FLAIR MR image.
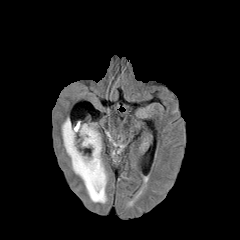
T1-weighted MRI.
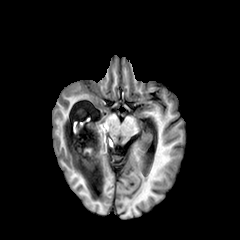
Post-contrast T1-weighted MR image.
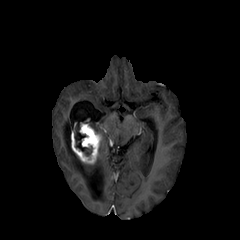
T2-weighted MR.
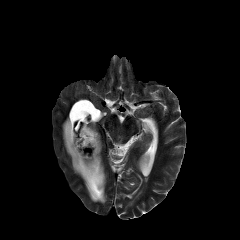
240x240 px; Head
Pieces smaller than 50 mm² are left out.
<segmentation>
  <peritumoral_edema>(left=62, top=117, right=107, bottom=203)</peritumoral_edema>
  <enhancing_tumor>(left=71, top=123, right=101, bottom=165)</enhancing_tumor>
  <necrotic_tumor_core>(left=74, top=128, right=91, bottom=155)</necrotic_tumor_core>
</segmentation>